Axial view, Image size 240x240, Head
FLAIR magnetic resonance.
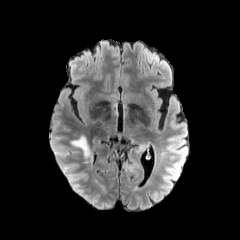
T1-weighted MRI.
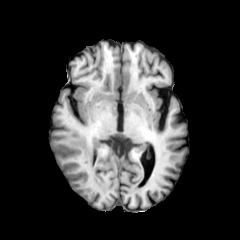
Post-contrast T1-weighted MR.
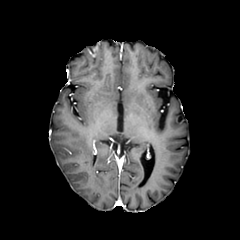
T2-weighted MR.
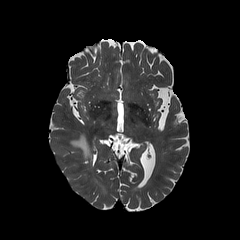
peritumoral edema — 72:135:89:156